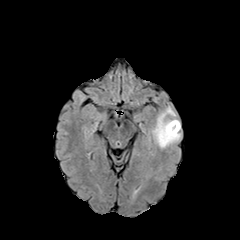
FLAIR magnetic resonance.
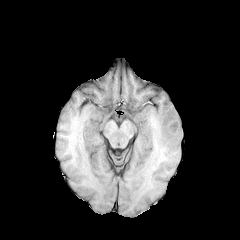
T1-weighted MR image.
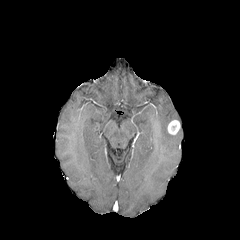
Post-contrast T1-weighted magnetic resonance.
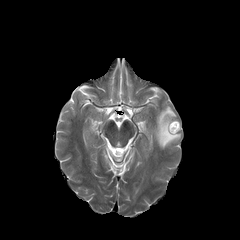
T2-weighted MR image.
Head, Image size 240x240, Axial plane
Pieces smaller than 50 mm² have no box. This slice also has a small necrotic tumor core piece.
The enhancing tumor is located at [x1=167, y1=120, x2=180, y2=135]. The peritumoral edema is bounded by [x1=150, y1=106, x2=181, y2=148].